Head | Axial view
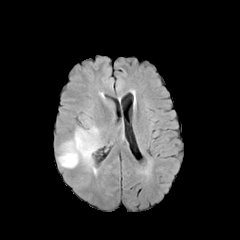
FLAIR MR image.
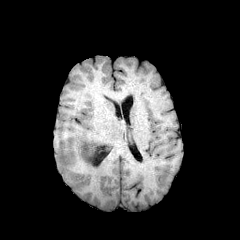
T1-weighted MR image.
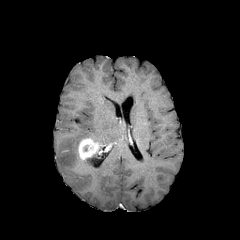
Post-contrast T1-weighted MRI.
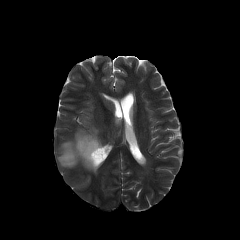
T2-weighted MR.
The peritumoral edema is bounded by [58, 126, 101, 174]. The enhancing tumor is at [78, 138, 100, 160].